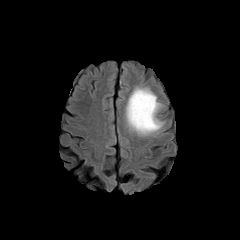
FLAIR MR.
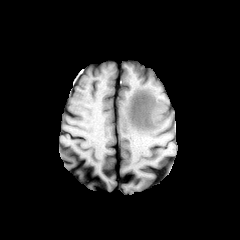
T1-weighted magnetic resonance.
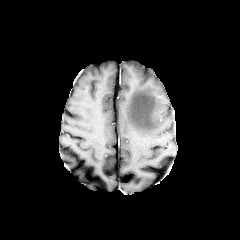
Post-contrast T1-weighted MRI.
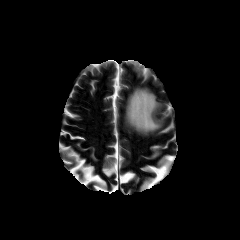
T2-weighted MR.
Axial plane
peritumoral edema = [125, 87, 163, 135]